FLAIR MR.
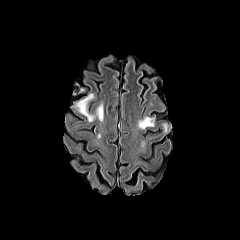
T1-weighted MR.
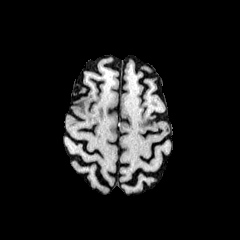
Post-contrast T1-weighted MRI.
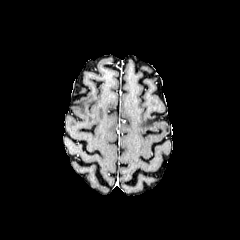
T2-weighted MR.
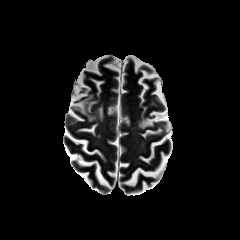
240x240 px. Brain.
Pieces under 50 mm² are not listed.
Findings:
* peritumoral edema: [162,122,168,132], [138,116,155,129], [94,103,103,121], [75,93,94,121]